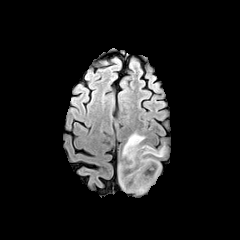
FLAIR MR image.
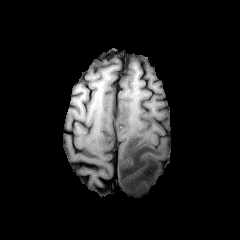
T1-weighted MR of the same slice.
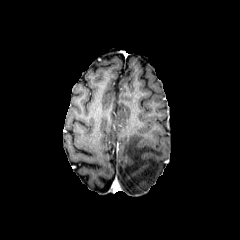
Post-contrast T1-weighted magnetic resonance of the same slice.
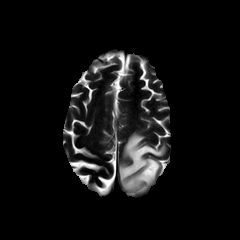
T2-weighted magnetic resonance.
Head.
peritumoral_edema:
  - rect(118, 133, 165, 193)